FLAIR MR.
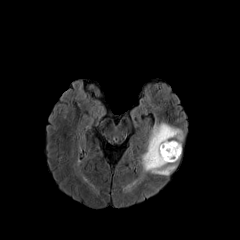
T1-weighted MR.
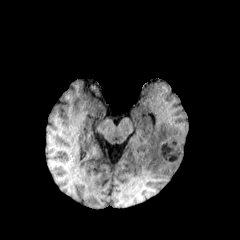
Post-contrast T1-weighted MR image.
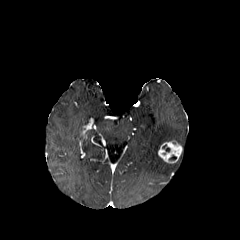
T2-weighted MR.
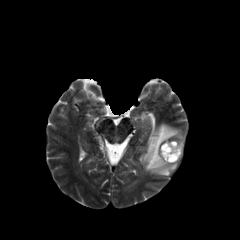
240x240 px. Axial slice.
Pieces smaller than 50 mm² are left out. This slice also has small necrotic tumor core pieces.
peritumoral_edema:
  - [141, 123, 183, 175]
enhancing_tumor:
  - [158, 140, 182, 163]